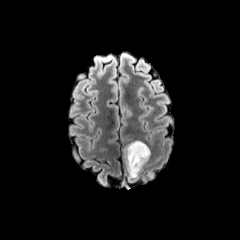
FLAIR MR image.
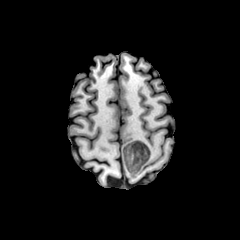
T1-weighted MR.
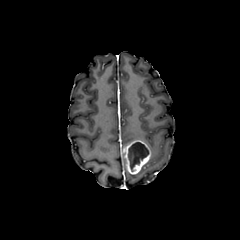
Same slice, post-contrast T1-weighted MR.
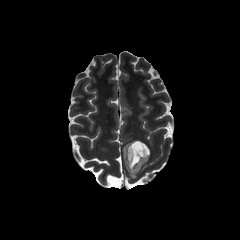
Same slice, T2-weighted MR.
Brain.
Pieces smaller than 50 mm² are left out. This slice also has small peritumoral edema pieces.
The enhancing tumor is located at 123 140 150 174. The necrotic tumor core is bounded by 128 142 148 171.